Head.
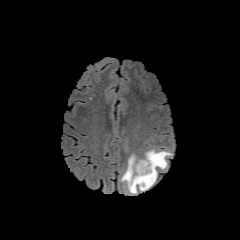
FLAIR MRI.
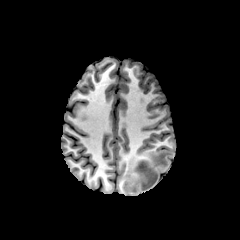
T1-weighted MR image of the same slice.
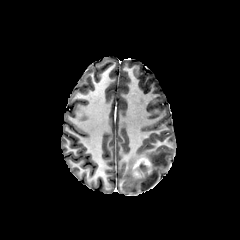
Post-contrast T1-weighted magnetic resonance.
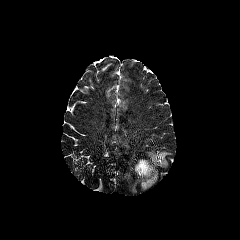
T2-weighted magnetic resonance.
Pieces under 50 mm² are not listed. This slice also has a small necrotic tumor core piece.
The enhancing tumor is located at bbox=[133, 158, 152, 177]. The peritumoral edema is at bbox=[120, 149, 172, 193].